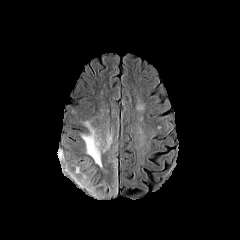
FLAIR MR image.
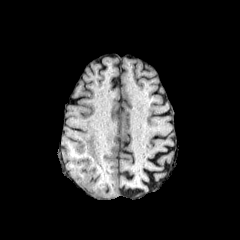
Same slice, T1-weighted magnetic resonance.
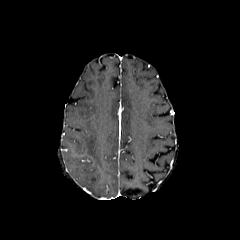
Same slice, post-contrast T1-weighted MRI.
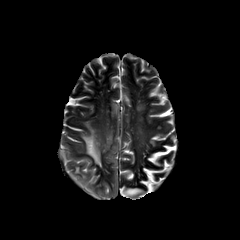
Same slice, T2-weighted magnetic resonance.
240x240 px; Axial plane
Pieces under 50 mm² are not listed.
Findings:
* peritumoral edema: rect(78, 150, 117, 197); rect(82, 121, 101, 167); rect(103, 132, 112, 151)